FLAIR MR image.
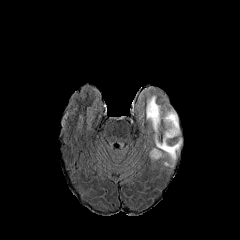
T1-weighted MR image.
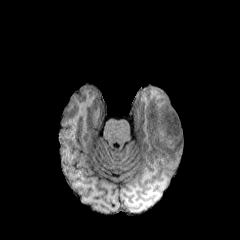
Post-contrast T1-weighted MR.
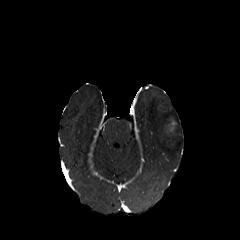
T2-weighted MR.
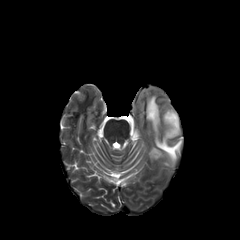
Axial view
The enhancing tumor lies within (left=167, top=120, right=176, bottom=131). 2 peritumoral edema regions appear at (left=151, top=149, right=161, bottom=159), (left=146, top=96, right=181, bottom=165).